FLAIR MR.
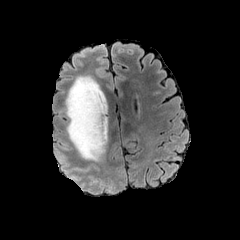
T1-weighted MRI.
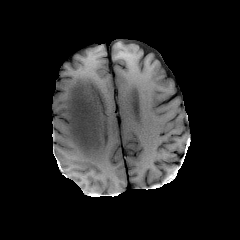
Post-contrast T1-weighted MR image.
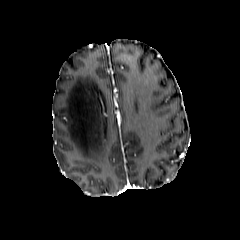
T2-weighted MR image.
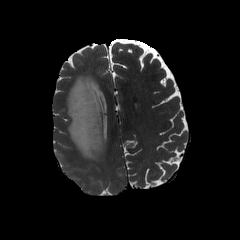
240x240 px
<segmentation>
  <peritumoral_edema>[65, 75, 107, 161]</peritumoral_edema>
</segmentation>